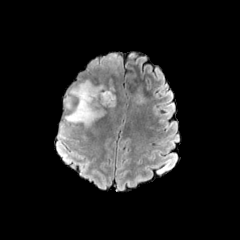
FLAIR MRI.
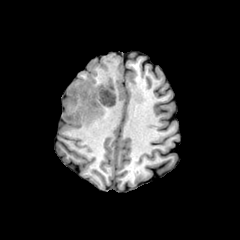
T1-weighted magnetic resonance.
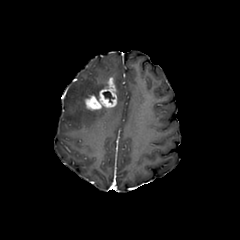
Post-contrast T1-weighted MR.
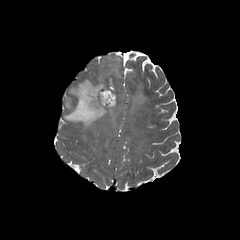
T2-weighted magnetic resonance.
Image size 240x240; Head
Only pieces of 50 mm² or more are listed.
enhancing tumor: [83,77,116,111] | peritumoral edema: [134,86,145,103], [64,54,120,128] | necrotic tumor core: [102,91,114,102]